FLAIR MR image.
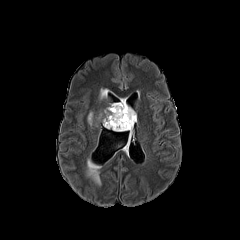
T1-weighted MR.
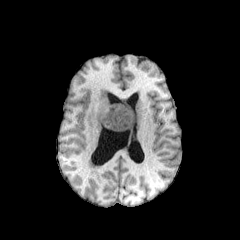
Post-contrast T1-weighted MR.
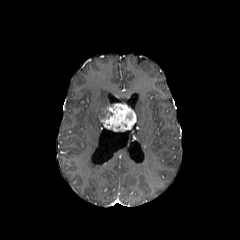
T2-weighted magnetic resonance.
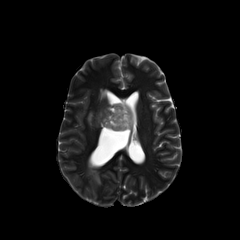
Axial view. Brain. 240x240.
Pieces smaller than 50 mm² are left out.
peritumoral edema: box=[88, 112, 92, 125]; box=[100, 89, 108, 99]
enhancing tumor: box=[100, 103, 136, 131]